FLAIR MR.
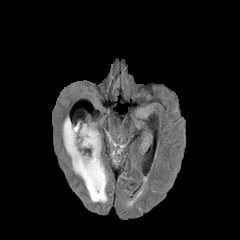
T1-weighted MR.
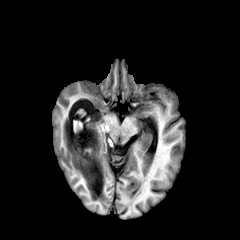
Post-contrast T1-weighted magnetic resonance.
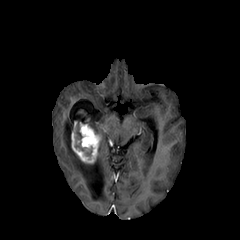
T2-weighted magnetic resonance.
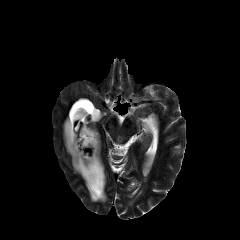
Axial view
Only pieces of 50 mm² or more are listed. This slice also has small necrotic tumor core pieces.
peritumoral_edema:
  - {"x1": 63, "y1": 117, "x2": 107, "y2": 202}
  - {"x1": 88, "y1": 123, "x2": 100, "y2": 135}
enhancing_tumor:
  - {"x1": 71, "y1": 124, "x2": 100, "y2": 164}